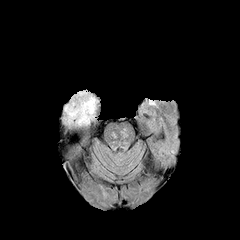
FLAIR MR.
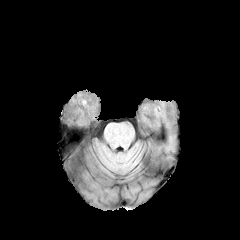
Same slice, T1-weighted MR.
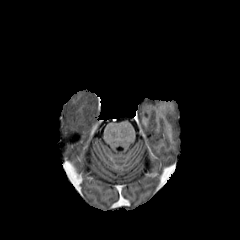
Post-contrast T1-weighted MR of the same slice.
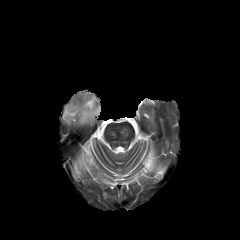
T2-weighted MR image.
240x240
peritumoral edema = <bbox>61, 91, 100, 130</bbox>